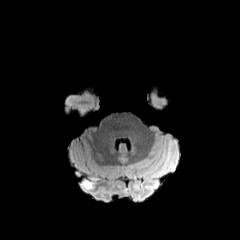
FLAIR MR image.
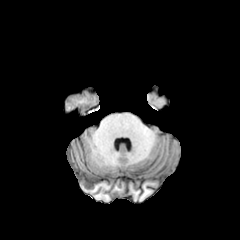
T1-weighted MR.
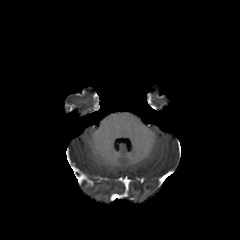
Same slice, post-contrast T1-weighted MR image.
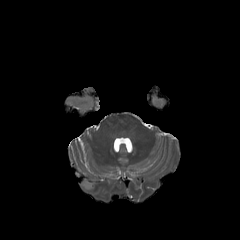
T2-weighted magnetic resonance of the same slice.
Brain; 240x240
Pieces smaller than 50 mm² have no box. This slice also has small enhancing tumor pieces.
The largest peritumoral edema region is located at [81,174,99,190].